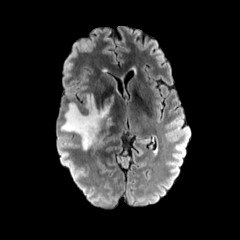
FLAIR MR image.
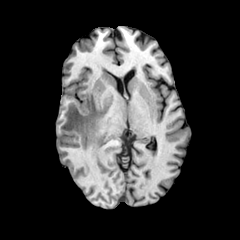
T1-weighted MRI.
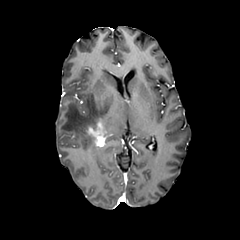
Post-contrast T1-weighted MR.
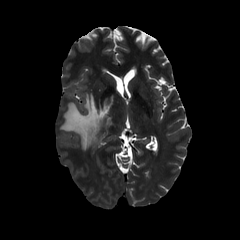
T2-weighted MRI.
Axial slice
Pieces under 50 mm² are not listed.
The enhancing tumor is located at [x1=87, y1=122, x2=105, y2=146]. The largest peritumoral edema region is located at [x1=60, y1=94, x2=114, y2=149].